Slice 82 of 155; Image width 240 mm
FLAIR MR.
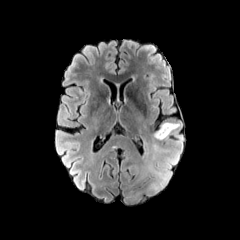
T1-weighted MR image.
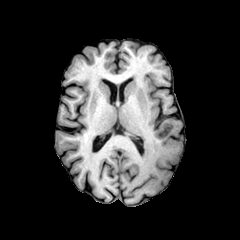
Post-contrast T1-weighted MR image.
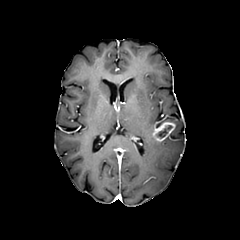
T2-weighted MRI.
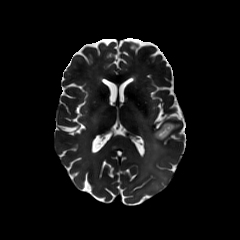
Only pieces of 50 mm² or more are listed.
necrotic tumor core — <box>156,125,172,138</box>
enhancing tumor — <box>153,121,175,141</box>
peritumoral edema — <box>151,143,168,176</box>